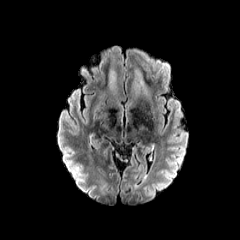
FLAIR MRI.
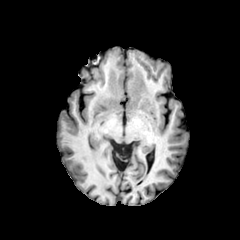
T1-weighted MR of the same slice.
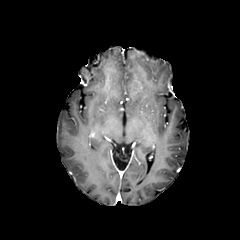
Same slice, post-contrast T1-weighted MR image.
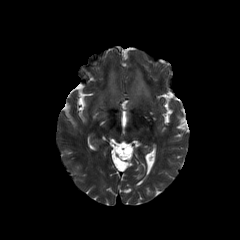
T2-weighted MRI.
2 peritumoral edema regions are located at l=109, t=70, r=117, b=93; l=132, t=70, r=151, b=97.